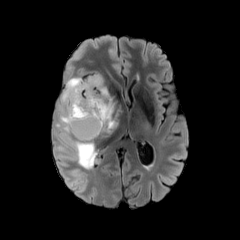
FLAIR MR.
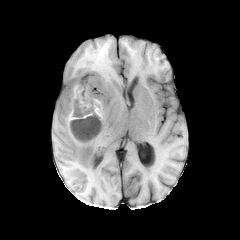
T1-weighted MR.
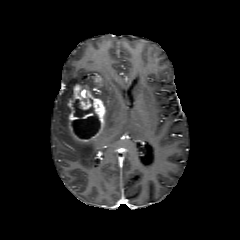
Post-contrast T1-weighted magnetic resonance.
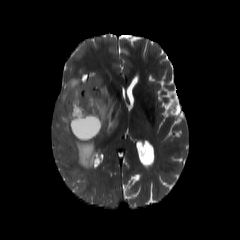
T2-weighted MR image.
240x240 | Head
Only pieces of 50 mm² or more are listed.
The largest necrotic tumor core region is located at 72 99 100 139. The 2 largest enhancing tumor regions appear at 95 74 101 85, 68 84 106 142. The peritumoral edema is located at 55 74 117 168.